Slice 115 of 155 | Axial slice
FLAIR MRI.
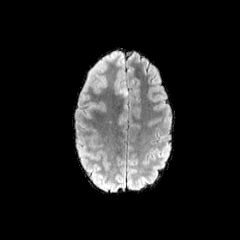
T1-weighted MR image.
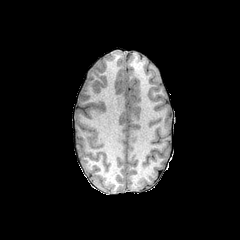
Post-contrast T1-weighted MR image.
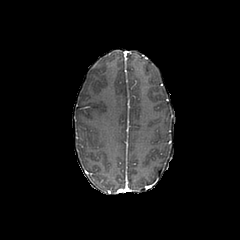
T2-weighted magnetic resonance.
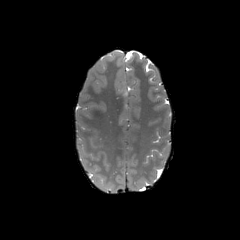
<segmentation>
  <peritumoral_edema>118, 85, 130, 125</peritumoral_edema>
</segmentation>